FLAIR MR.
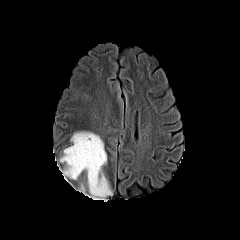
T1-weighted MR.
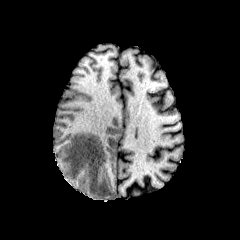
Post-contrast T1-weighted MR image.
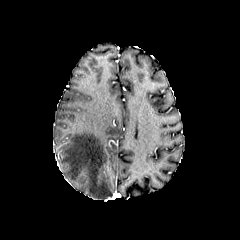
T2-weighted MRI.
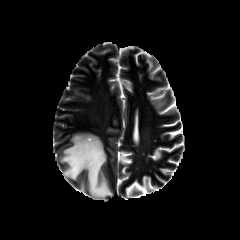
Image size 240x240; Head; Axial plane
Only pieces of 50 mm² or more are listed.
<segmentation>
  <peritumoral_edema><bbox>60, 132, 112, 199</bbox></peritumoral_edema>
</segmentation>